Brain, Axial view, Image size 240x240
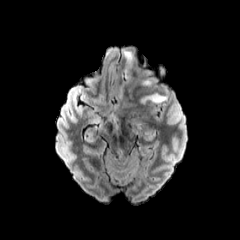
FLAIR MR.
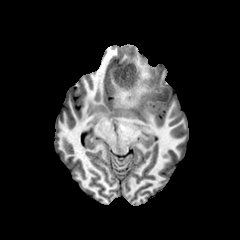
T1-weighted MRI.
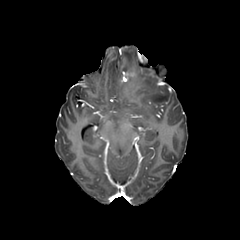
Post-contrast T1-weighted MRI of the same slice.
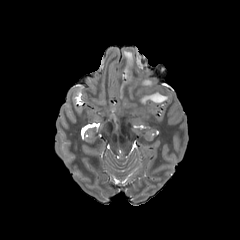
T2-weighted magnetic resonance of the same slice.
{
  "enhancing_tumor": [
    "120:67:135:84"
  ],
  "peritumoral_edema": [
    "123:50:133:69",
    "143:80:152:85",
    "141:93:167:103"
  ]
}